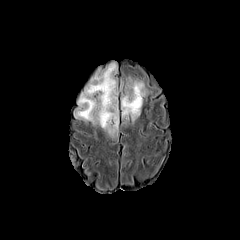
FLAIR MRI.
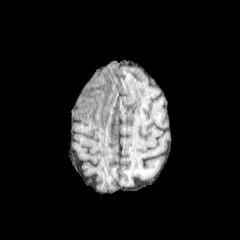
T1-weighted magnetic resonance.
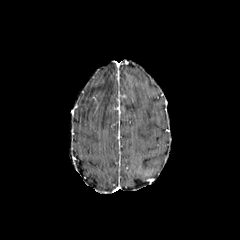
Post-contrast T1-weighted MR image of the same slice.
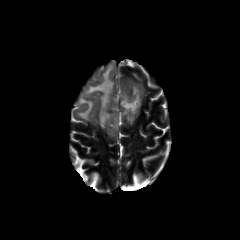
Same slice, T2-weighted magnetic resonance.
Brain, Image size 240x240
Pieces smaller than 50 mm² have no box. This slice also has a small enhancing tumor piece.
<segmentation>
  <peritumoral_edema>(x1=121, y1=79, x2=146, y2=121), (x1=74, y1=62, x2=118, y2=136)</peritumoral_edema>
</segmentation>